Image width 240 mm, 1.00 mm slice spacing. Brain. Image size 240x240.
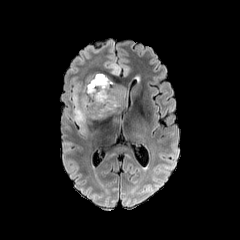
FLAIR MR.
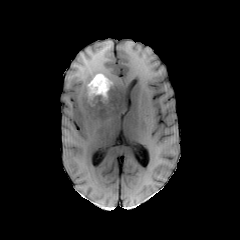
Same slice, T1-weighted MRI.
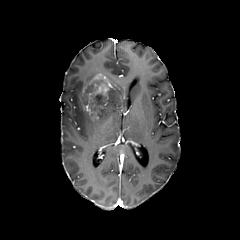
Post-contrast T1-weighted MRI.
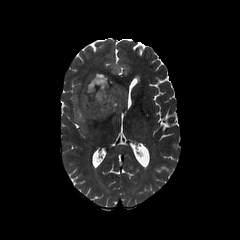
T2-weighted MR of the same slice.
necrotic tumor core — (87, 79, 101, 92)
enhancing tumor — (82, 73, 110, 98)
peritumoral edema — (72, 71, 127, 131), (109, 63, 119, 74)